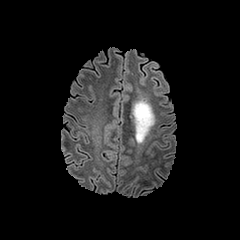
FLAIR MRI.
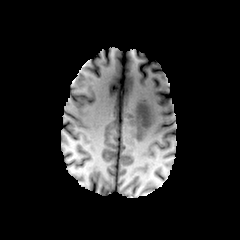
T1-weighted magnetic resonance.
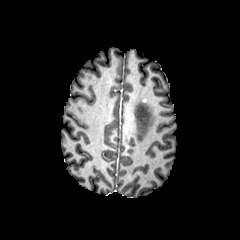
Same slice, post-contrast T1-weighted magnetic resonance.
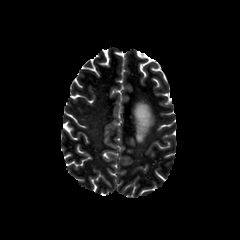
T2-weighted magnetic resonance.
Axial plane
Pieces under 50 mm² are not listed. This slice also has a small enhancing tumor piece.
The peritumoral edema is at [x1=131, y1=101, x2=153, y2=142].